Slice 60 of 155. Head. Axial view. 240x240.
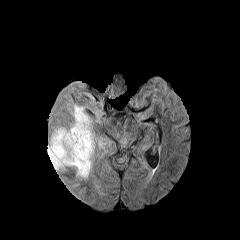
FLAIR MR.
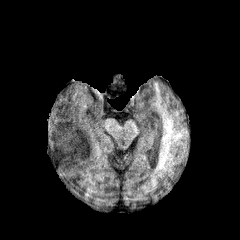
T1-weighted MR.
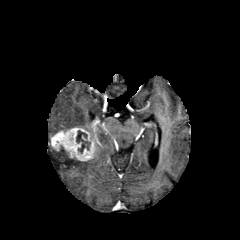
Post-contrast T1-weighted MRI of the same slice.
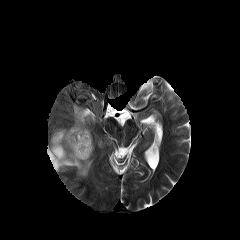
T2-weighted MR image.
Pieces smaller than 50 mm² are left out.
Annotated regions:
* necrotic tumor core: l=76, t=130, r=90, b=153
* peritumoral edema: l=71, t=105, r=92, b=138; l=47, t=144, r=91, b=177
* enhancing tumor: l=50, t=127, r=94, b=161